FLAIR MR image.
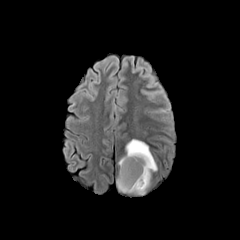
T1-weighted magnetic resonance.
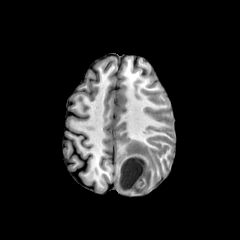
Post-contrast T1-weighted magnetic resonance.
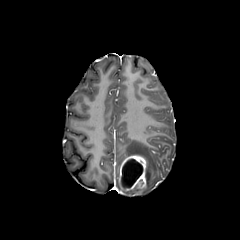
T2-weighted MRI.
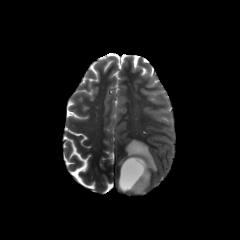
240x240 px, Axial slice, Head
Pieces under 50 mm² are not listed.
The enhancing tumor lies within l=118, t=155, r=146, b=193. The largest necrotic tumor core region is at l=121, t=159, r=142, b=188. The largest peritumoral edema region is bounded by l=118, t=139, r=157, b=187.